Brain.
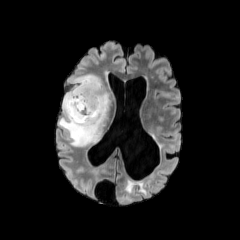
FLAIR MRI.
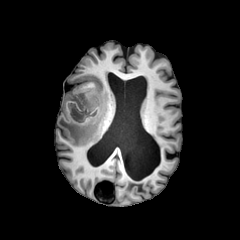
T1-weighted MR of the same slice.
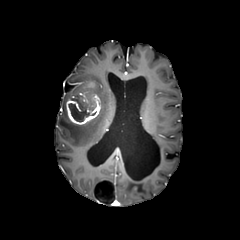
Same slice, post-contrast T1-weighted MR.
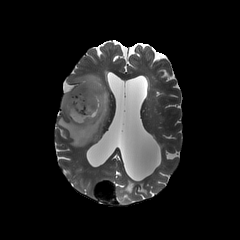
T2-weighted MRI.
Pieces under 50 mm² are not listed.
The enhancing tumor is bounded by l=66, t=92, r=100, b=124. The peritumoral edema is at l=58, t=74, r=109, b=146. The largest necrotic tumor core region is bounded by l=68, t=95, r=96, b=121.